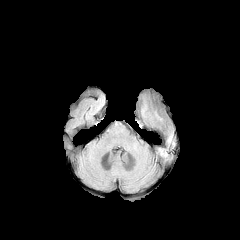
FLAIR MR.
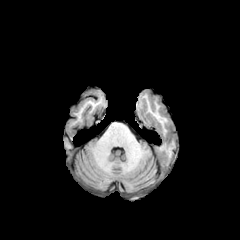
T1-weighted MR.
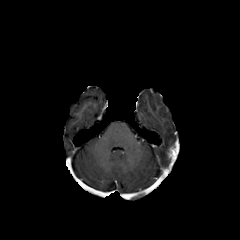
Same slice, post-contrast T1-weighted magnetic resonance.
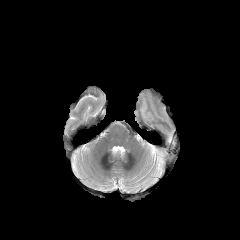
T2-weighted MR image of the same slice.
Brain, Image size 240x240
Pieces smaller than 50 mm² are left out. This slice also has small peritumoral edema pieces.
The enhancing tumor appears at box(169, 148, 176, 158).